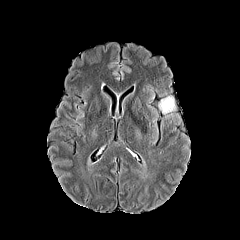
FLAIR MRI.
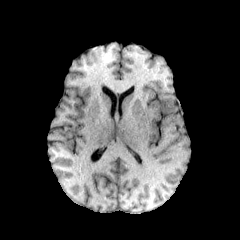
T1-weighted MRI.
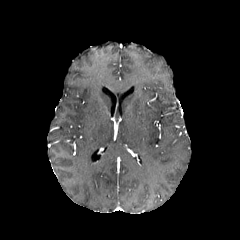
Same slice, post-contrast T1-weighted magnetic resonance.
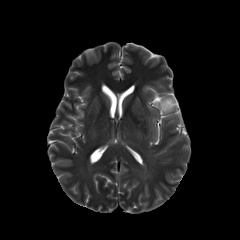
Same slice, T2-weighted magnetic resonance.
Head
peritumoral edema: box=[158, 95, 176, 113]